Slice index 93. Head. Image covers 240 mm x 240 mm. Image size 240x240.
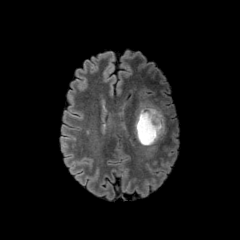
FLAIR MR image.
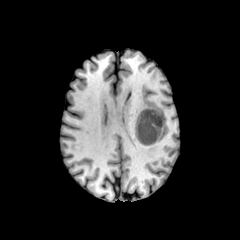
T1-weighted magnetic resonance.
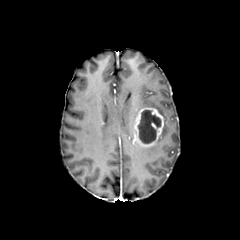
Post-contrast T1-weighted MR.
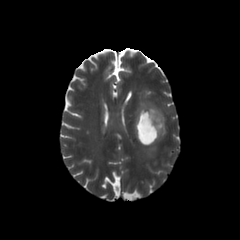
T2-weighted MR.
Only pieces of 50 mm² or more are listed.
enhancing_tumor:
  - l=134, t=107, r=163, b=146
necrotic_tumor_core:
  - l=138, t=110, r=161, b=143
peritumoral_edema:
  - l=136, t=90, r=164, b=139